FLAIR magnetic resonance.
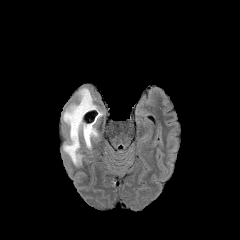
T1-weighted MR image.
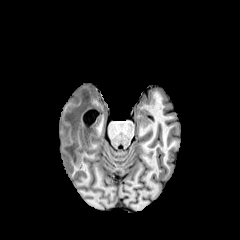
Post-contrast T1-weighted MR.
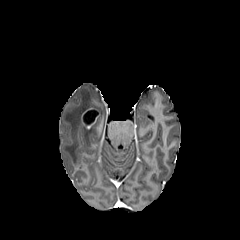
T2-weighted magnetic resonance.
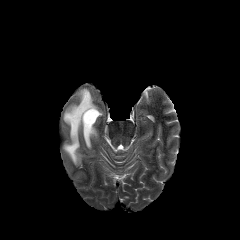
Axial view; 240x240 px
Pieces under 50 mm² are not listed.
The largest peritumoral edema region appears at x1=63 y1=88 x2=98 y2=165. The enhancing tumor appears at x1=81 y1=108 x2=100 y2=128.